FLAIR MR.
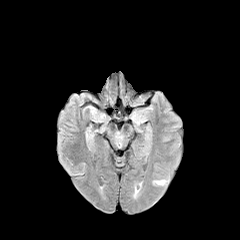
T1-weighted magnetic resonance.
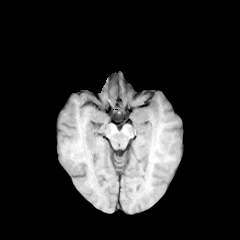
Post-contrast T1-weighted MRI.
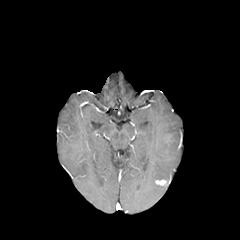
T2-weighted MR image.
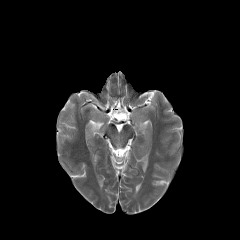
Head, Axial plane
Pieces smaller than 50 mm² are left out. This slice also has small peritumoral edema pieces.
enhancing tumor: 153 179 167 185